FLAIR MR image.
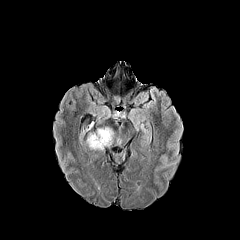
T1-weighted MR image.
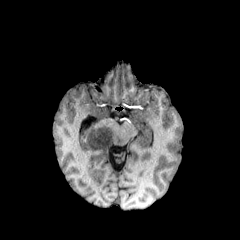
Post-contrast T1-weighted magnetic resonance.
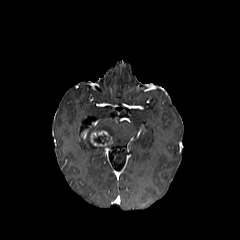
T2-weighted magnetic resonance.
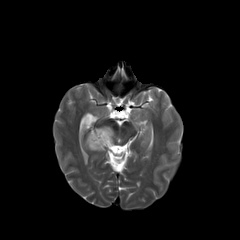
Brain, Axial plane
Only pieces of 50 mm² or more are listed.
enhancing tumor: bounding box box(89, 130, 112, 147)
peritumoral edema: bounding box box(87, 137, 103, 149); box(97, 127, 113, 139)
necrotic tumor core: bounding box box(94, 135, 109, 144)